FLAIR MRI.
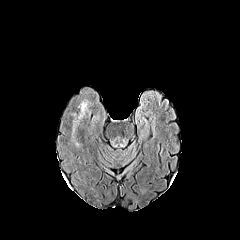
T1-weighted MR.
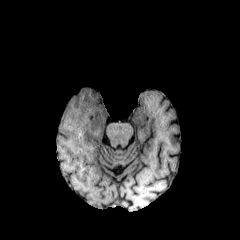
Post-contrast T1-weighted MRI.
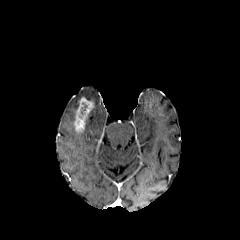
T2-weighted MRI.
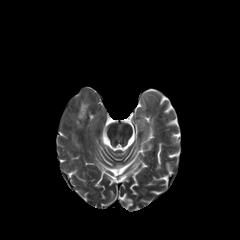
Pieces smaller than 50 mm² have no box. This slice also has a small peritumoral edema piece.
{
  "enhancing_tumor": [
    "[x1=74, y1=97, x2=93, y2=131]"
  ]
}